Axial plane; Slice 44 of 155; Image width 240 mm, 1.00 mm slice spacing
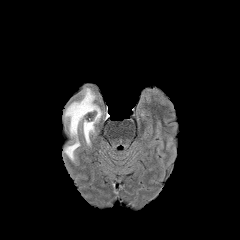
FLAIR magnetic resonance.
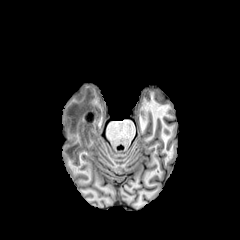
T1-weighted MR image.
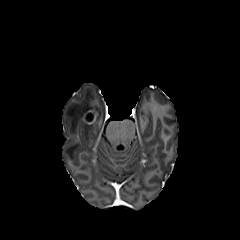
Post-contrast T1-weighted magnetic resonance of the same slice.
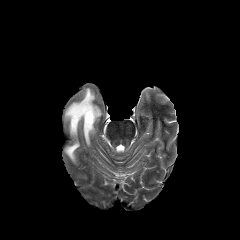
Same slice, T2-weighted MR.
peritumoral edema at rect(64, 88, 101, 160)
enhancing tumor at rect(83, 110, 98, 124)